FLAIR MR.
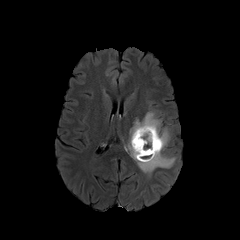
T1-weighted MR image.
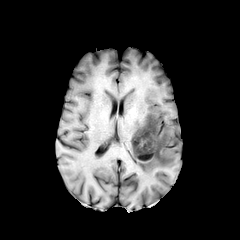
Post-contrast T1-weighted MR image.
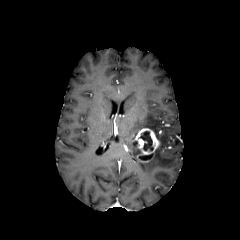
T2-weighted MR.
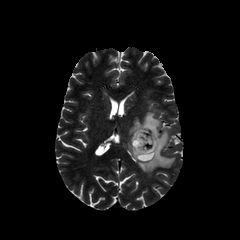
240x240
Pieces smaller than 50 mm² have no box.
The largest enhancing tumor region is at [132, 128, 159, 157]. The peritumoral edema is at [128, 111, 175, 174]. The 2 largest necrotic tumor core regions are bounded by [137, 154, 152, 160], [140, 131, 153, 151].